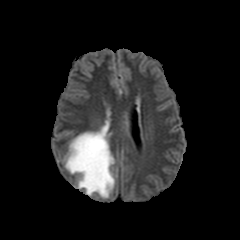
FLAIR MR.
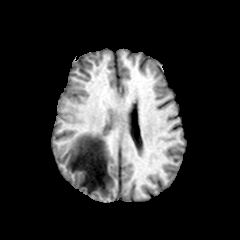
T1-weighted MR.
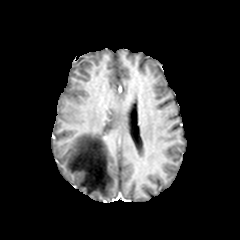
Post-contrast T1-weighted MR image.
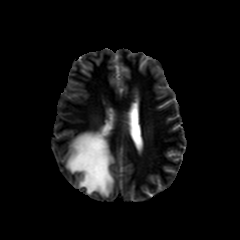
T2-weighted MR image.
Head. Axial view. Image size 240x240.
peritumoral edema: bbox=[65, 120, 114, 197]